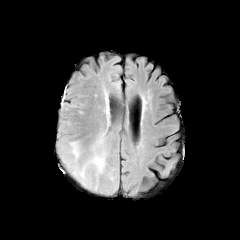
FLAIR magnetic resonance.
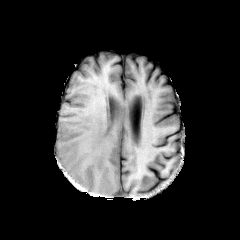
T1-weighted MR.
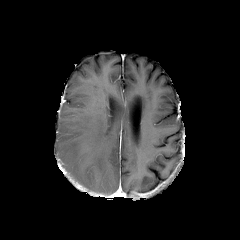
Post-contrast T1-weighted magnetic resonance.
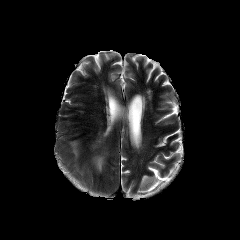
T2-weighted MRI.
Brain | Axial plane
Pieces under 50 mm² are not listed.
- peritumoral edema: 71:142:78:158, 92:155:104:171